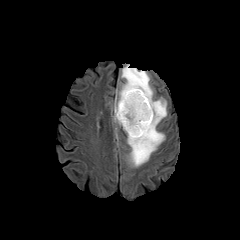
FLAIR MRI.
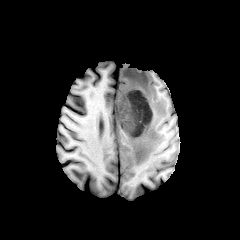
T1-weighted MR.
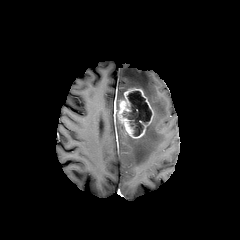
Same slice, post-contrast T1-weighted MRI.
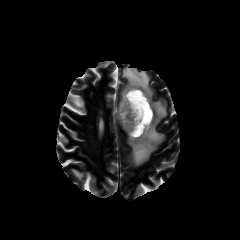
Same slice, T2-weighted MR image.
Image size 240x240 | Brain
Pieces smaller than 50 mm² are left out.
enhancing tumor: (left=118, top=88, right=153, bottom=138) | peritumoral edema: (left=119, top=64, right=167, bottom=167) | necrotic tumor core: (left=123, top=91, right=151, bottom=136)